240x240
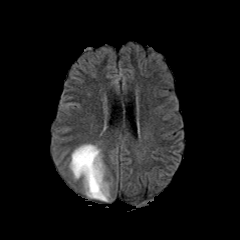
FLAIR MR image.
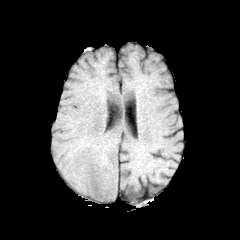
Same slice, T1-weighted MR.
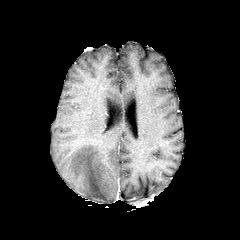
Post-contrast T1-weighted MR image.
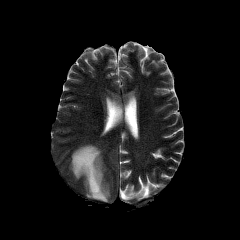
T2-weighted MRI of the same slice.
peritumoral edema: 70, 144, 109, 201